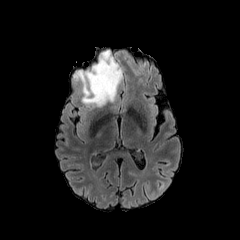
FLAIR MR.
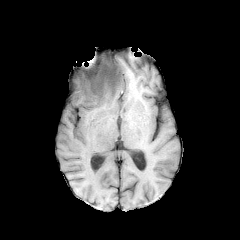
T1-weighted MR image of the same slice.
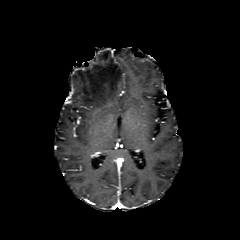
Same slice, post-contrast T1-weighted MRI.
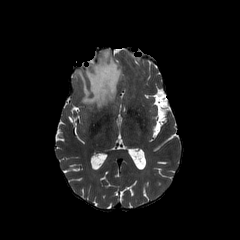
Same slice, T2-weighted MR.
<segmentation>
  <peritumoral_edema>region(73, 50, 122, 106)</peritumoral_edema>
</segmentation>